FLAIR MR.
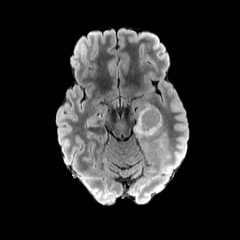
T1-weighted magnetic resonance.
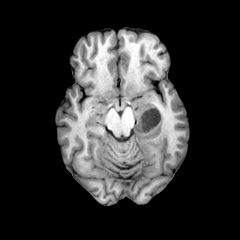
Post-contrast T1-weighted MR image.
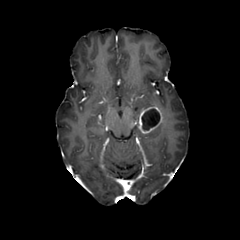
T2-weighted MRI.
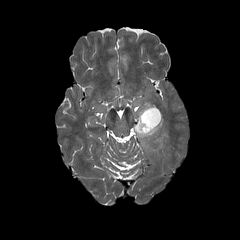
Axial view; Brain
enhancing tumor at box(138, 106, 162, 133)
peritumoral edema at box(134, 103, 162, 139); box(155, 131, 166, 142)
necrotic tumor core at box(141, 109, 160, 130)